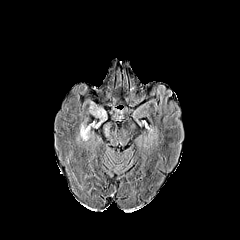
FLAIR MRI.
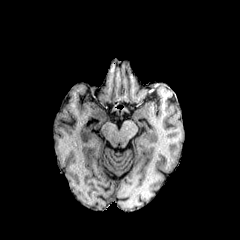
T1-weighted MR image.
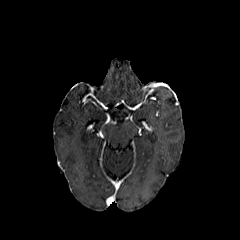
Post-contrast T1-weighted MR.
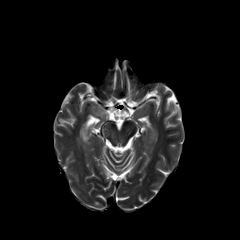
T2-weighted MRI.
Head
The peritumoral edema is bounded by x1=80 y1=100 x2=108 y2=140.